Slice 87 of 155; 240x240; Brain
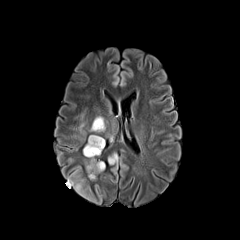
FLAIR MRI.
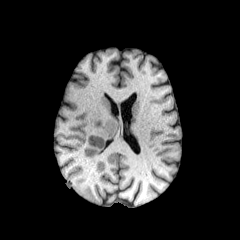
T1-weighted MRI.
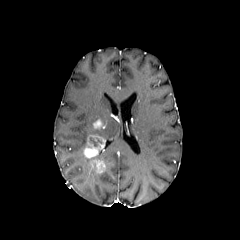
Post-contrast T1-weighted MR image of the same slice.
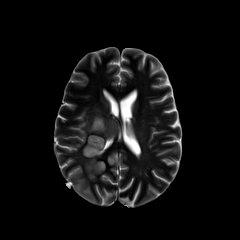
T2-weighted MR of the same slice.
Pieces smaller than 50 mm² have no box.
peritumoral_edema:
  - {"x1": 90, "y1": 124, "x2": 104, "y2": 131}
  - {"x1": 108, "y1": 153, "x2": 117, "y2": 164}
  - {"x1": 93, "y1": 116, "x2": 104, "y2": 125}
  - {"x1": 86, "y1": 157, "x2": 96, "y2": 179}
enhancing_tumor:
  - {"x1": 93, "y1": 119, "x2": 104, "y2": 128}
  - {"x1": 91, "y1": 160, "x2": 105, "y2": 173}
  - {"x1": 84, "y1": 135, "x2": 104, "y2": 158}
necrotic_tumor_core:
  - {"x1": 89, "y1": 137, "x2": 101, "y2": 146}